FLAIR magnetic resonance.
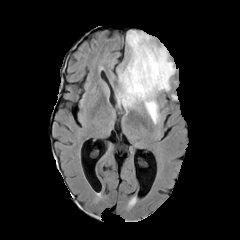
T1-weighted MRI.
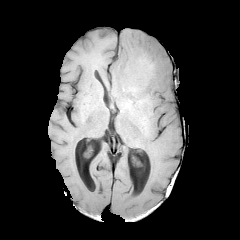
Post-contrast T1-weighted MR.
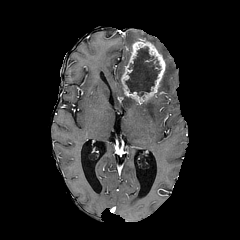
T2-weighted magnetic resonance.
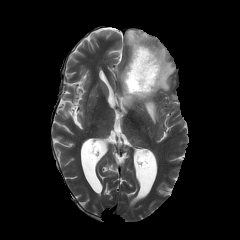
Brain, 240x240
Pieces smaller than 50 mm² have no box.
{"enhancing_tumor": ["bbox=[121, 37, 165, 103]"], "necrotic_tumor_core": ["bbox=[125, 47, 160, 96]"], "peritumoral_edema": ["bbox=[142, 96, 159, 123]", "bbox=[126, 30, 175, 92]", "bbox=[116, 66, 138, 109]"]}